FLAIR MRI.
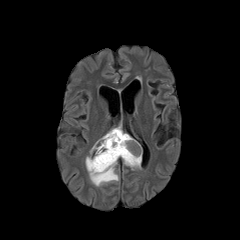
T1-weighted MR image.
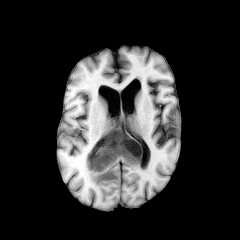
Post-contrast T1-weighted magnetic resonance.
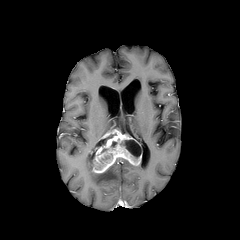
T2-weighted MR image.
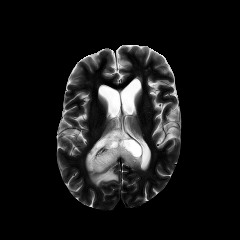
Brain; Axial plane
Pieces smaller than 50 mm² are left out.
Segmented structures:
• enhancing tumor: [88, 129, 141, 173]
• peritumoral edema: [110, 120, 126, 133], [123, 159, 141, 169], [85, 156, 118, 186]
• necrotic tumor core: [120, 140, 140, 158], [96, 134, 113, 147]